Axial plane. 240x240. Head.
FLAIR MR image.
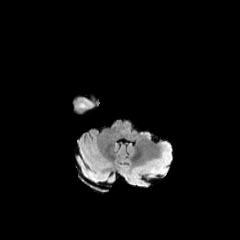
T1-weighted magnetic resonance.
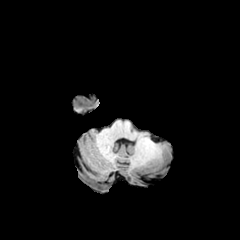
Post-contrast T1-weighted MRI.
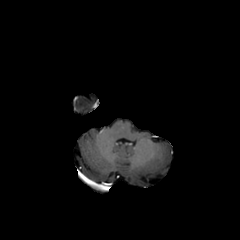
T2-weighted MRI.
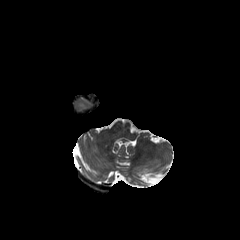
Annotated regions:
* peritumoral edema: (x1=78, y1=99, x2=90, y2=108)